240x240 px; Brain; Slice 134/155
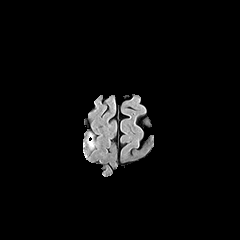
FLAIR MRI.
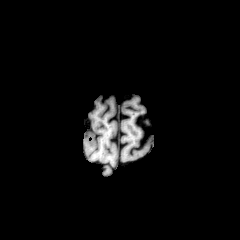
T1-weighted MRI.
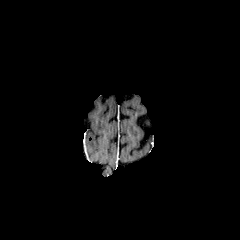
Post-contrast T1-weighted MR image.
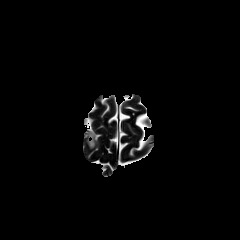
Same slice, T2-weighted MRI.
• peritumoral edema: rect(88, 133, 94, 147)